Image size 240x240
FLAIR MR image.
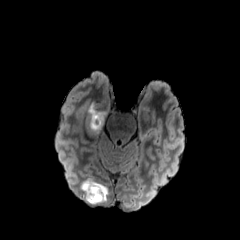
T1-weighted MR.
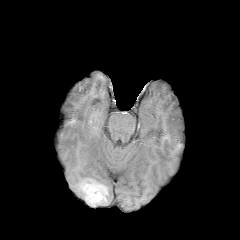
Post-contrast T1-weighted MR image.
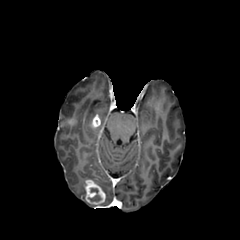
T2-weighted magnetic resonance.
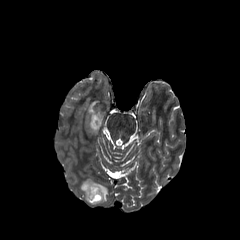
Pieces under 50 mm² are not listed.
necrotic tumor core: bounding box rect(88, 188, 101, 201)
enhancing tumor: bounding box rect(84, 180, 105, 205); rect(91, 115, 100, 128)
peritumoral edema: bounding box rect(81, 180, 85, 199); rect(93, 180, 108, 204); rect(88, 103, 107, 133)